Brain
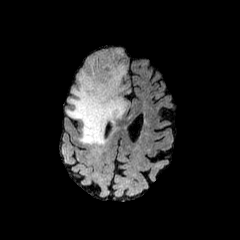
FLAIR MR image.
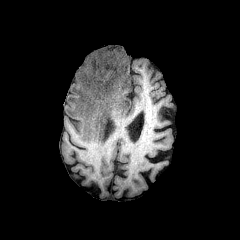
Same slice, T1-weighted MR image.
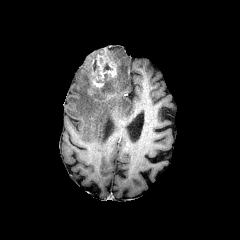
Same slice, post-contrast T1-weighted MR image.
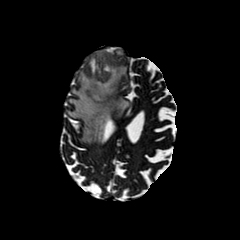
T2-weighted magnetic resonance of the same slice.
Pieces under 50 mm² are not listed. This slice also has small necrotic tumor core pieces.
enhancing tumor: bounding box box(85, 48, 118, 99)
peritumoral edema: bounding box box(66, 48, 128, 145)